FLAIR MR.
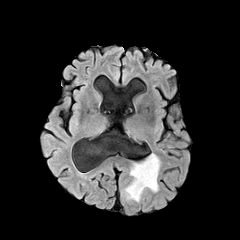
T1-weighted MR image.
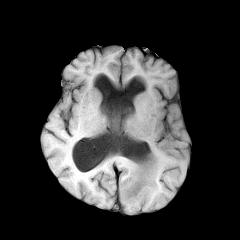
Post-contrast T1-weighted MR.
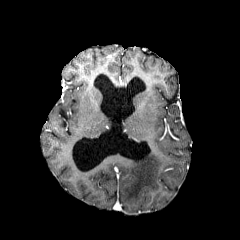
T2-weighted MRI.
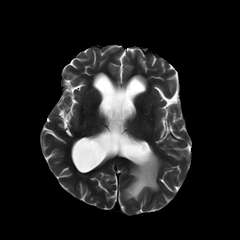
Head
peritumoral edema: bbox(122, 153, 161, 201)